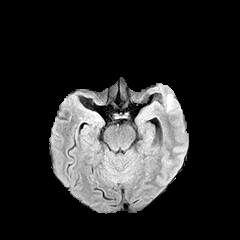
FLAIR MR image.
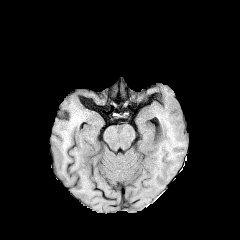
T1-weighted MR image.
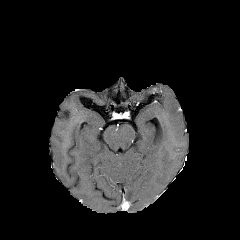
Post-contrast T1-weighted MR.
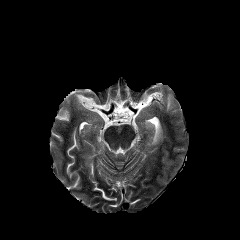
T2-weighted magnetic resonance.
Axial plane; Image size 240x240
peritumoral edema: <box>166,94,175,111</box>